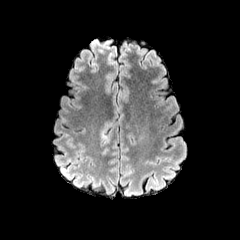
FLAIR magnetic resonance.
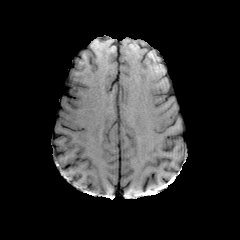
T1-weighted magnetic resonance of the same slice.
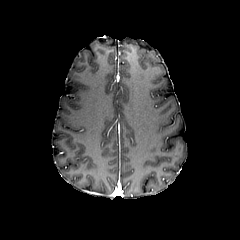
Post-contrast T1-weighted magnetic resonance.
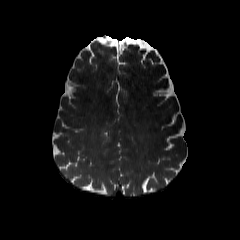
T2-weighted MR.
Brain | 240x240 | Axial slice
{
  "peritumoral_edema": [
    "x1=101, y1=130, x2=108, y2=145"
  ]
}